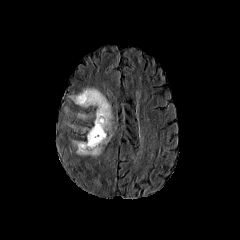
FLAIR magnetic resonance.
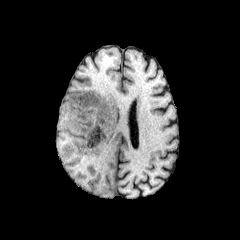
T1-weighted MR image of the same slice.
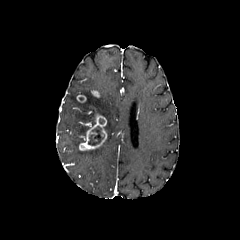
Same slice, post-contrast T1-weighted MRI.
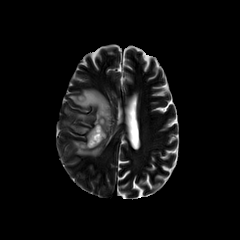
T2-weighted MRI of the same slice.
240x240 px | Head
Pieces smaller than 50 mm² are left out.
peritumoral edema: bounding box rect(72, 135, 111, 156); rect(69, 88, 112, 131)
enhancing tumor: bounding box rect(79, 113, 107, 150); rect(77, 95, 86, 102)
necrotic tumor core: bounding box rect(88, 126, 104, 145)